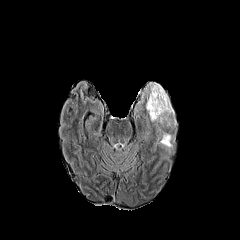
FLAIR magnetic resonance.
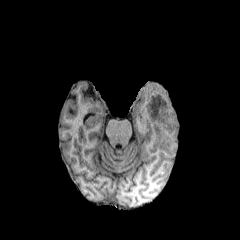
T1-weighted MRI.
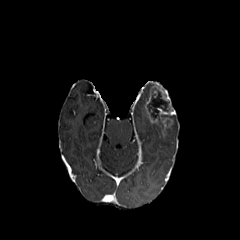
Post-contrast T1-weighted magnetic resonance.
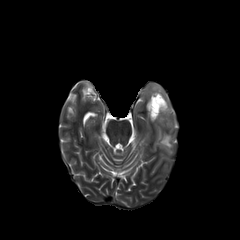
Same slice, T2-weighted MR.
240x240
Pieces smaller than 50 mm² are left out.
peritumoral edema — <box>161,115,176,127</box>, <box>160,131,174,151</box>
necrotic tumor core — <box>147,88,169,126</box>
enhancing tumor — <box>145,91,158,124</box>, <box>152,83,175,136</box>